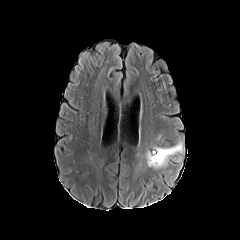
FLAIR MR.
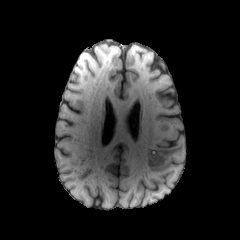
T1-weighted magnetic resonance.
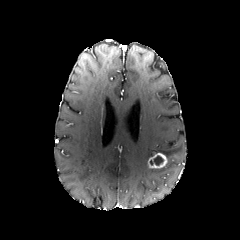
Post-contrast T1-weighted MR of the same slice.
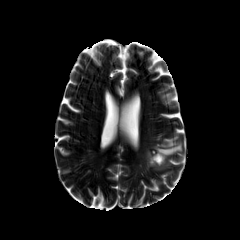
T2-weighted MR image.
Brain | Image size 240x240
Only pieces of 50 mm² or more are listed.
peritumoral edema — box(145, 150, 155, 165); box(153, 136, 184, 162)
enhancing tumor — box(148, 153, 167, 168)
necrotic tumor core — box(150, 155, 163, 165)